FLAIR MR.
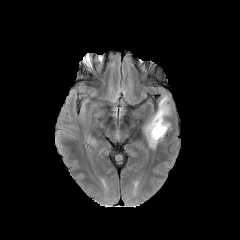
T1-weighted MR.
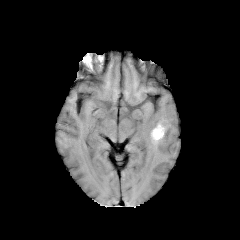
Post-contrast T1-weighted MRI.
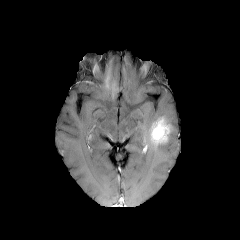
T2-weighted MRI.
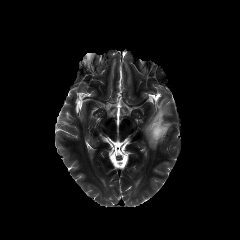
Head | 240x240 | Axial view
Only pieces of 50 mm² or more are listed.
The enhancing tumor lies within left=150, top=118, right=170, bottom=144. The largest peritumoral edema region lies within left=144, top=96, right=170, bottom=149.